FLAIR magnetic resonance.
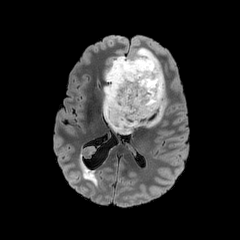
T1-weighted magnetic resonance.
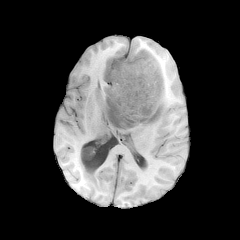
Post-contrast T1-weighted magnetic resonance.
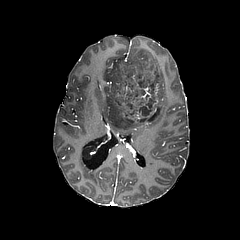
T2-weighted MR.
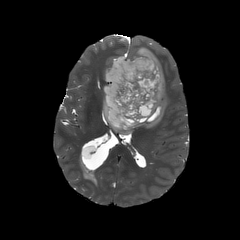
Axial view
peritumoral edema — 103 84 166 135, 104 47 164 96
necrotic tumor core — 107 52 162 128